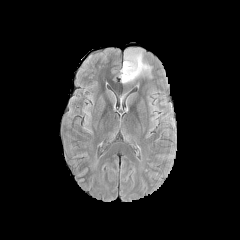
FLAIR magnetic resonance.
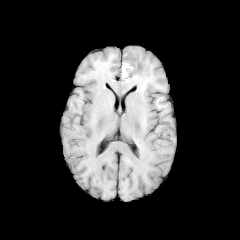
Same slice, T1-weighted MR image.
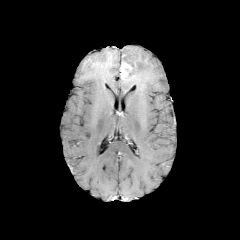
Post-contrast T1-weighted MRI of the same slice.
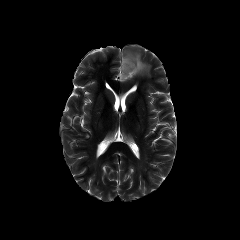
T2-weighted magnetic resonance.
240x240, Axial plane, Head
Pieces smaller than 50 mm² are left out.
Findings:
- enhancing tumor: (left=120, top=62, right=132, bottom=79)
- necrotic tumor core: (left=123, top=58, right=136, bottom=80)
- peritumoral edema: (left=121, top=48, right=151, bottom=83)